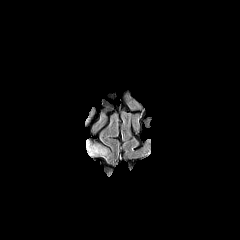
FLAIR magnetic resonance.
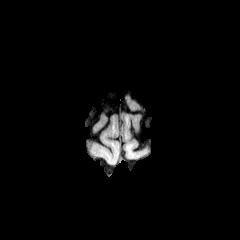
T1-weighted MR.
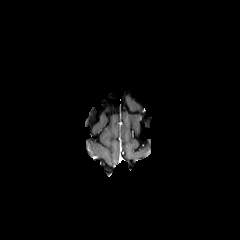
Post-contrast T1-weighted MRI.
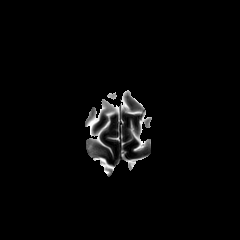
T2-weighted magnetic resonance of the same slice.
240x240 | Head
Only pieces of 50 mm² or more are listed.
peritumoral edema: bounding box [89,146,104,154]